FLAIR magnetic resonance.
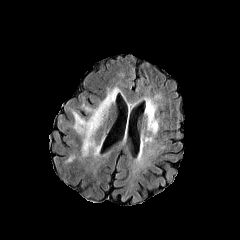
T1-weighted magnetic resonance.
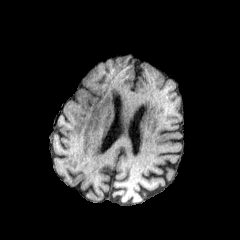
Post-contrast T1-weighted MR image.
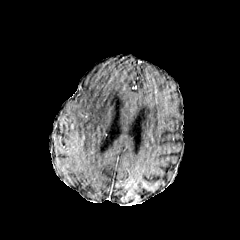
T2-weighted MR image.
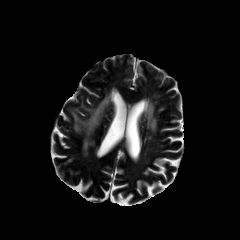
Axial slice
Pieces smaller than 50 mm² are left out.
{"peritumoral_edema": ["[72,90,111,155]"]}